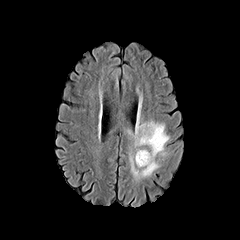
FLAIR MR image.
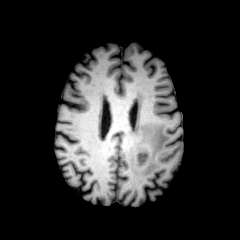
T1-weighted MR image of the same slice.
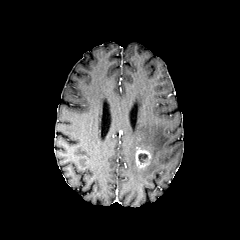
Post-contrast T1-weighted MRI.
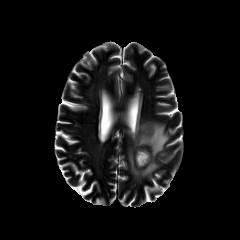
T2-weighted magnetic resonance.
Brain
peritumoral edema = <bbox>128, 119, 170, 180</bbox>
necrotic tumor core = <bbox>138, 154, 147, 162</bbox>
enhancing tumor = <bbox>135, 149, 150, 168</bbox>